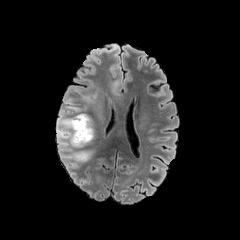
FLAIR MR image.
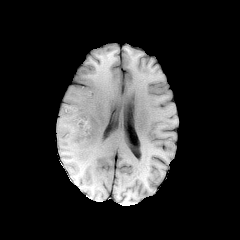
T1-weighted MRI.
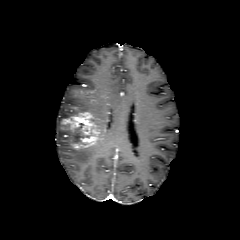
Same slice, post-contrast T1-weighted MRI.
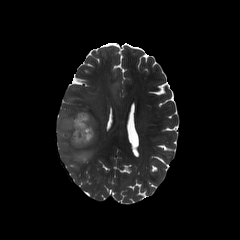
T2-weighted MR.
Axial view | Head
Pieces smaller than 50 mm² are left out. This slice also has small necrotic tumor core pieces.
<segmentation>
  <enhancing_tumor>l=63, t=112, r=98, b=148</enhancing_tumor>
  <peritumoral_edema>l=57, t=98, r=92, b=162</peritumoral_edema>
</segmentation>